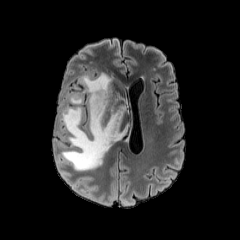
FLAIR magnetic resonance.
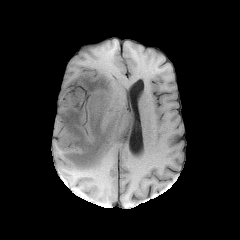
T1-weighted MR image of the same slice.
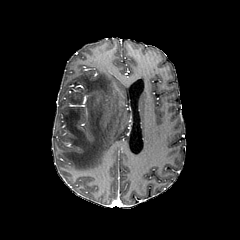
Post-contrast T1-weighted MR.
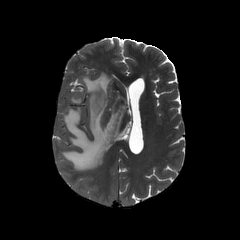
T2-weighted MR.
Axial plane
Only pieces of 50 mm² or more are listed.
Findings:
- peritumoral edema: 61, 72, 126, 170